Image width 240 mm, 1.00 mm slice spacing. Slice index 52.
FLAIR MRI.
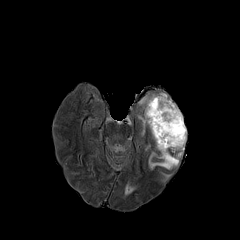
T1-weighted MR.
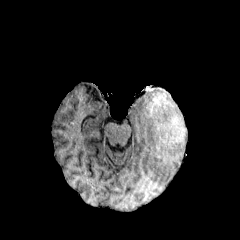
Post-contrast T1-weighted MR image.
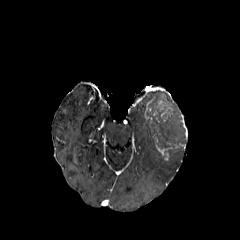
T2-weighted MRI.
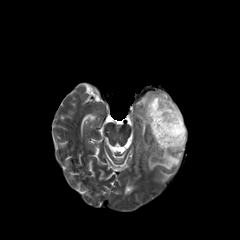
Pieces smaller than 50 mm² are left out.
<segmentation>
  <peritumoral_edema><box>152,93,178,110</box>, <box>148,148,183,169</box></peritumoral_edema>
  <necrotic_tumor_core><box>147,100,185,151</box></necrotic_tumor_core>
  <enhancing_tumor><box>158,148,168,160</box></enhancing_tumor>
</segmentation>